FLAIR MR.
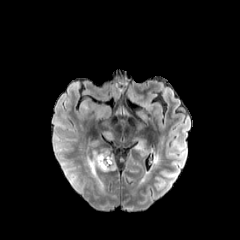
T1-weighted MR.
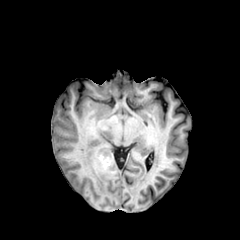
Post-contrast T1-weighted MRI.
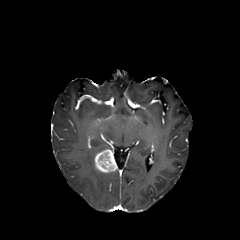
T2-weighted MR.
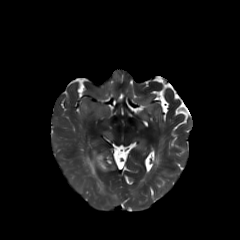
Brain
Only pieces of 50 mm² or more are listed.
{
  "enhancing_tumor": [
    "x1=94, y1=149, x2=117, y2=172"
  ],
  "peritumoral_edema": [
    "x1=86, y1=151, x2=104, y2=190"
  ]
}